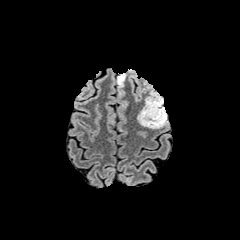
FLAIR MR.
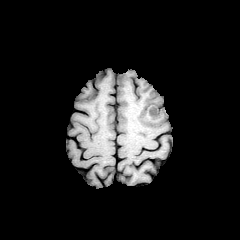
T1-weighted MR image.
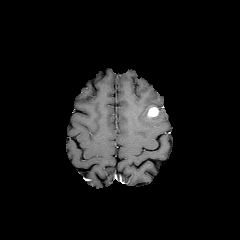
Post-contrast T1-weighted magnetic resonance of the same slice.
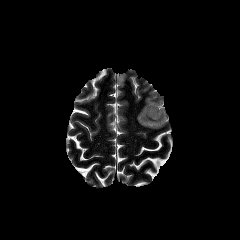
T2-weighted magnetic resonance.
Axial view.
{"peritumoral_edema": ["137:89:167:128", "117:73:126:87"], "enhancing_tumor": ["147:107:158:117"]}